Axial slice, Brain
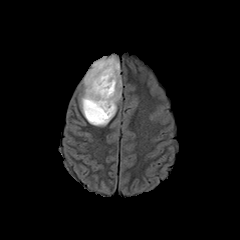
FLAIR magnetic resonance.
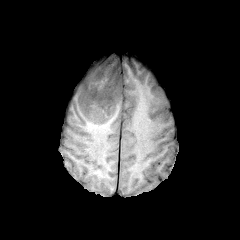
T1-weighted MR image.
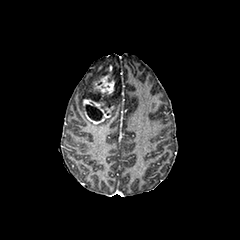
Post-contrast T1-weighted MRI.
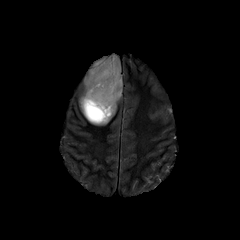
Same slice, T2-weighted MRI.
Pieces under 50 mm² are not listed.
necrotic tumor core: bounding box (86,104,102,120)
peritumoral edema: bounding box (79,55,122,126)
enhancing tumor: bounding box (83,63,118,123)